FLAIR MRI.
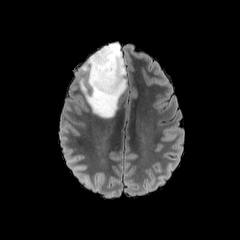
T1-weighted MR.
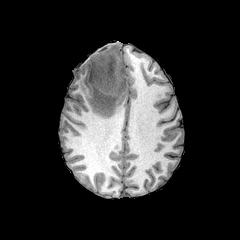
Post-contrast T1-weighted MRI.
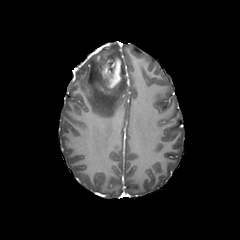
T2-weighted MRI.
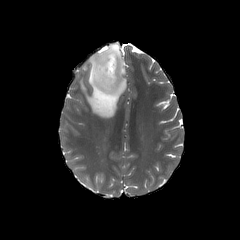
240x240 px; Brain
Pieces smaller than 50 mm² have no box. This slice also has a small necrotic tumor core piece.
* peritumoral edema: x1=79, y1=43, x2=126, y2=118
* enhancing tumor: x1=99, y1=58, x2=121, y2=88